FLAIR magnetic resonance.
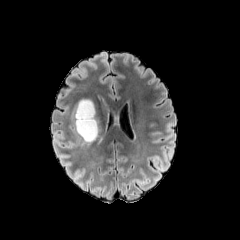
T1-weighted MR image.
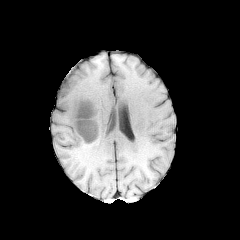
Post-contrast T1-weighted magnetic resonance.
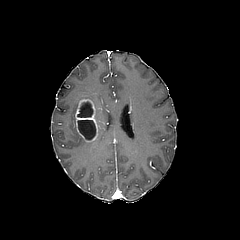
T2-weighted MRI.
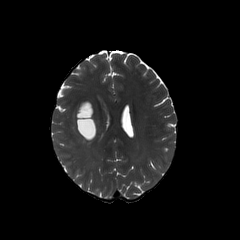
Axial slice
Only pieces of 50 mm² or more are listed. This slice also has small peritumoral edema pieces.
necrotic tumor core at l=78, t=102, r=92, b=117; l=78, t=120, r=95, b=140
enhancing tumor at l=75, t=99, r=97, b=142